Head; Axial slice; Image size 240x240; Slice index 85
FLAIR MR.
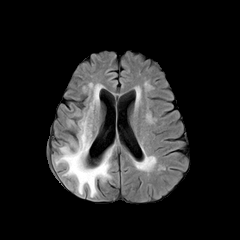
T1-weighted MRI.
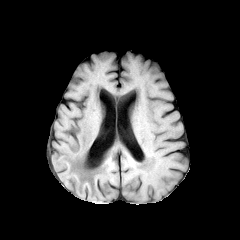
Post-contrast T1-weighted MR.
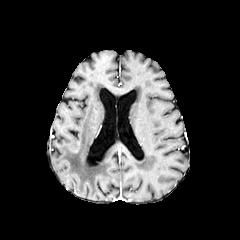
T2-weighted magnetic resonance.
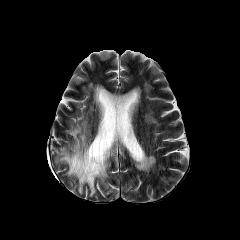
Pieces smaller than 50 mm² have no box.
peritumoral edema: bounding box box=[55, 111, 115, 196]; box=[88, 83, 101, 114]